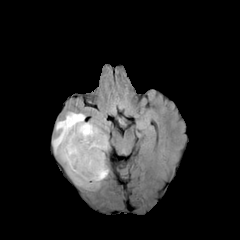
FLAIR magnetic resonance.
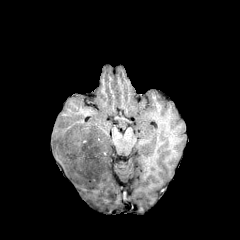
T1-weighted MRI of the same slice.
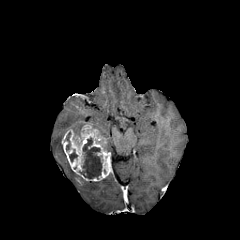
Post-contrast T1-weighted magnetic resonance of the same slice.
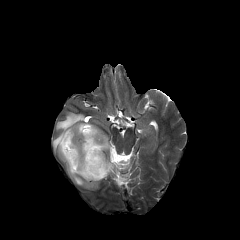
T2-weighted MR.
Axial slice.
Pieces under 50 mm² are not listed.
{
  "enhancing_tumor": [
    "x1=60 y1=124 x2=110 y2=181"
  ],
  "necrotic_tumor_core": [
    "x1=80 y1=138 x2=101 y2=178",
    "x1=66 y1=132 x2=70 y2=150",
    "x1=69 y1=150 x2=77 y2=161"
  ],
  "peritumoral_edema": [
    "x1=52 y1=112 x2=110 y2=189"
  ]
}